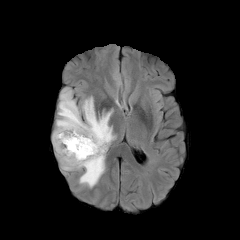
FLAIR MR image.
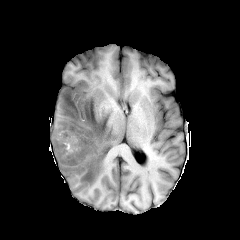
T1-weighted MR of the same slice.
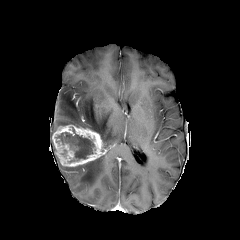
Post-contrast T1-weighted MRI.
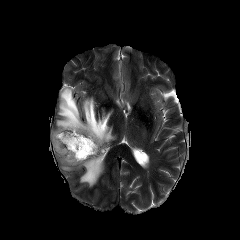
T2-weighted magnetic resonance.
Axial plane. Head.
necrotic tumor core: bounding box x1=61 y1=133 x2=93 y2=157
peritumoral edema: bounding box x1=61 y1=155 x2=106 y2=187, x1=55 y1=87 x2=116 y2=148
enhancing tumor: bounding box x1=52 y1=124 x2=105 y2=166